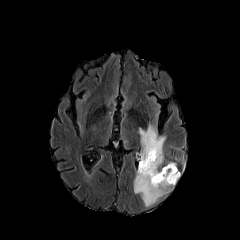
FLAIR MR image.
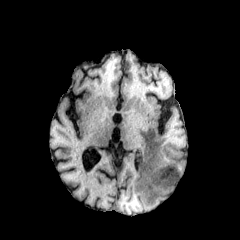
T1-weighted MR image.
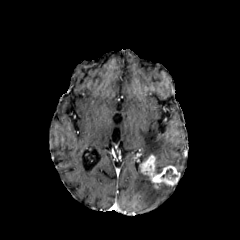
Post-contrast T1-weighted MRI.
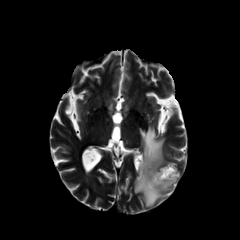
Same slice, T2-weighted magnetic resonance.
240x240 px
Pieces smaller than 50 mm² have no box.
{"necrotic_tumor_core": ["<box>162,169,176,181</box>"], "enhancing_tumor": ["<box>139,154,180,188</box>"], "peritumoral_edema": ["<box>139,124,165,166</box>", "<box>134,168,173,206</box>"]}